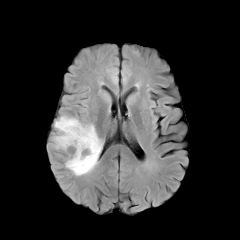
FLAIR MR.
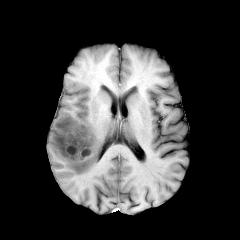
Same slice, T1-weighted magnetic resonance.
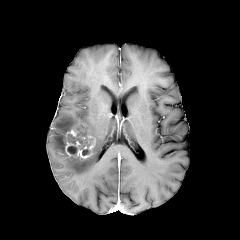
Post-contrast T1-weighted MR of the same slice.
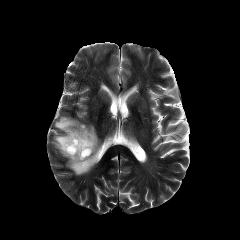
T2-weighted magnetic resonance.
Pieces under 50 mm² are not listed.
enhancing_tumor:
  - 63, 125, 95, 159
peritumoral_edema:
  - 52, 116, 102, 175
necrotic_tumor_core:
  - 67, 146, 77, 154